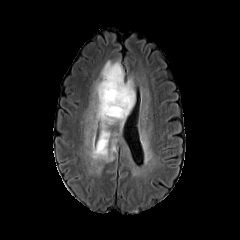
FLAIR MR.
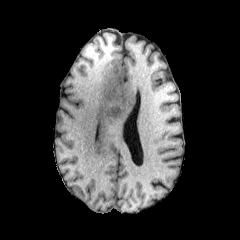
Same slice, T1-weighted MR image.
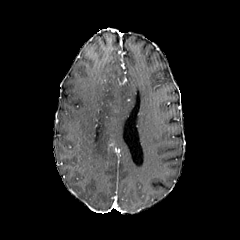
Post-contrast T1-weighted MR.
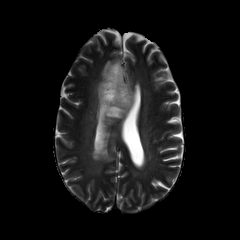
Same slice, T2-weighted magnetic resonance.
Brain
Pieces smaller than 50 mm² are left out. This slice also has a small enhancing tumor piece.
peritumoral edema at 111:139:116:152, 91:61:135:161